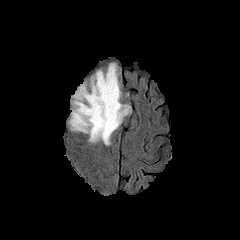
FLAIR MR image.
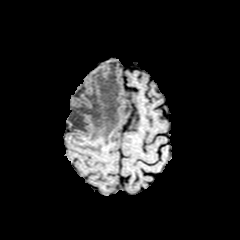
T1-weighted MRI.
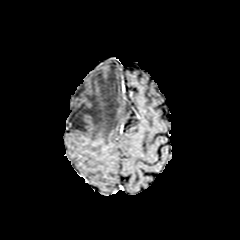
Same slice, post-contrast T1-weighted MR.
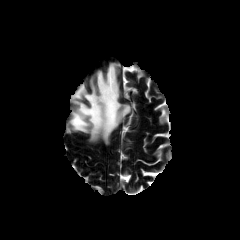
T2-weighted MR image.
Head
{
  "peritumoral_edema": [
    "[x1=69, y1=63, x2=131, y2=145]"
  ]
}